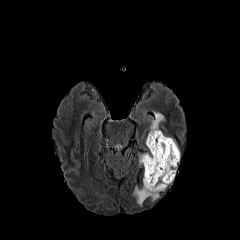
FLAIR MR.
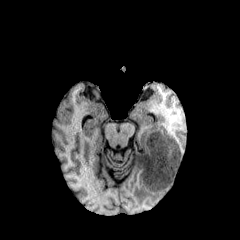
T1-weighted MRI of the same slice.
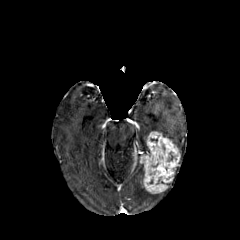
Same slice, post-contrast T1-weighted MRI.
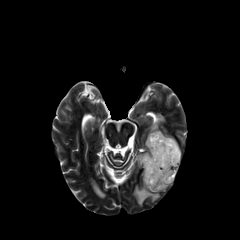
T2-weighted MR.
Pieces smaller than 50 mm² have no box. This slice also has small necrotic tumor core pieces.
peritumoral edema: (left=133, top=185, right=159, bottom=206), (left=145, top=111, right=164, bottom=132) | enhancing tumor: (left=139, top=131, right=180, bottom=193)